FLAIR MRI.
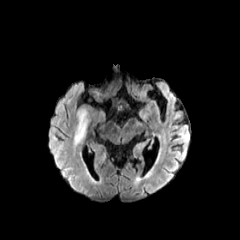
T1-weighted MR image.
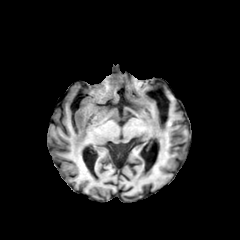
Post-contrast T1-weighted MR image.
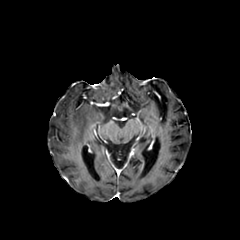
T2-weighted MRI.
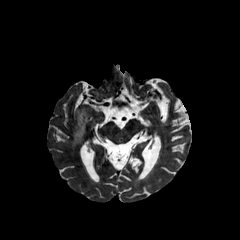
Axial slice. 240x240. Brain.
The peritumoral edema is at <box>74,109,88,145</box>.